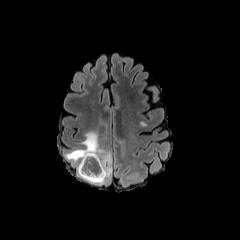
FLAIR MRI.
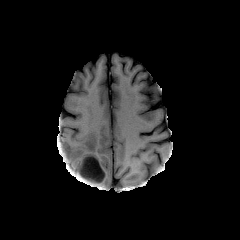
T1-weighted MRI.
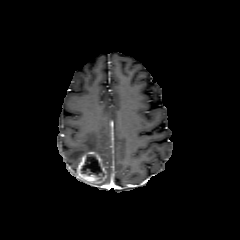
Same slice, post-contrast T1-weighted MRI.
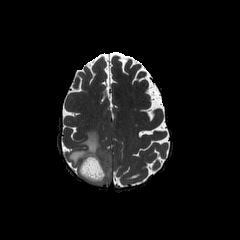
T2-weighted MR.
240x240.
The enhancing tumor appears at (x1=77, y1=151, x2=106, y2=182). The peritumoral edema is located at (x1=66, y1=131, x2=112, y2=185). The necrotic tumor core appears at (x1=81, y1=155, x2=104, y2=176).